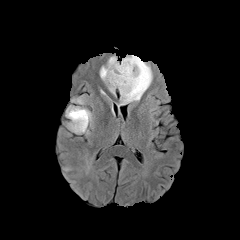
FLAIR MRI.
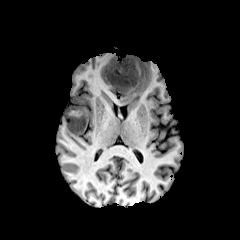
T1-weighted MRI.
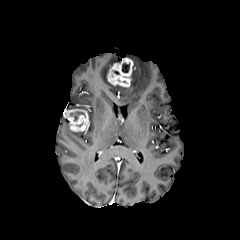
Post-contrast T1-weighted MR.
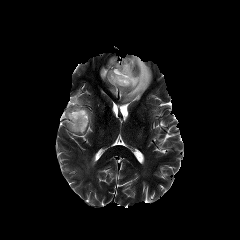
T2-weighted MRI.
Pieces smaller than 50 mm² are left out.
The largest peritumoral edema region is bounded by bbox=[100, 55, 152, 104]. 2 enhancing tumor regions are located at bbox=[107, 57, 134, 87]; bbox=[64, 109, 89, 131]. The 2 largest necrotic tumor core regions appear at bbox=[122, 63, 129, 72]; bbox=[70, 112, 84, 120].